FLAIR MR.
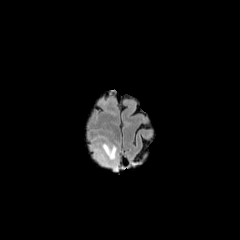
T1-weighted magnetic resonance.
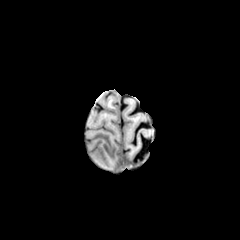
Post-contrast T1-weighted MRI.
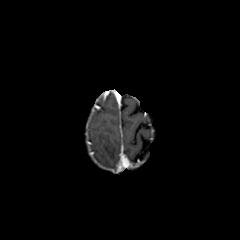
T2-weighted MR.
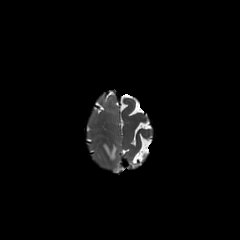
Head, Axial slice, 240x240
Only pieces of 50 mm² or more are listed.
peritumoral_edema:
  - bbox=[102, 143, 116, 160]